FLAIR magnetic resonance.
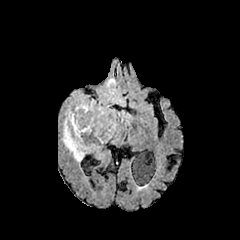
T1-weighted MRI.
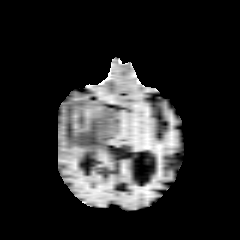
Post-contrast T1-weighted MR image.
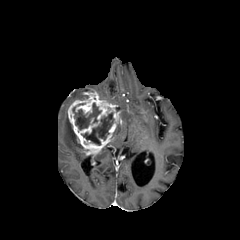
T2-weighted MR image.
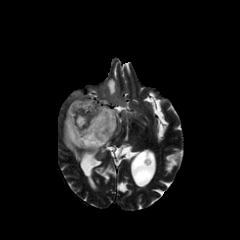
Axial plane
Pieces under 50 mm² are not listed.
Segmented structures:
• necrotic tumor core: x1=83 y1=112 x2=113 y2=144, x1=72 y1=103 x2=101 y2=129
• enhancing tumor: x1=67 y1=92 x2=122 y2=153
• peritumoral edema: x1=99 y1=78 x2=125 y2=106, x1=120 y1=111 x2=130 y2=124, x1=63 y1=117 x2=84 y2=161